FLAIR MR image.
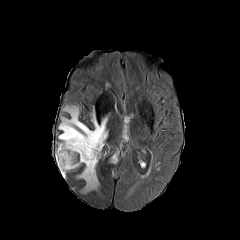
T1-weighted magnetic resonance.
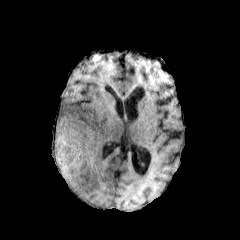
Post-contrast T1-weighted MRI.
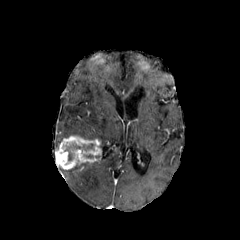
T2-weighted MRI.
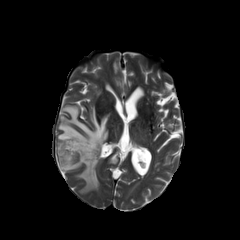
Head.
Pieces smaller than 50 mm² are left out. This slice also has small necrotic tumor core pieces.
Findings:
- peritumoral edema: bbox=[78, 162, 98, 190]; bbox=[58, 106, 107, 147]
- enhancing tumor: bbox=[55, 135, 101, 169]